Slice 74 of 155, Brain, Axial view
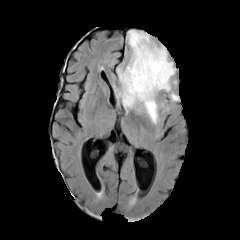
FLAIR MR image.
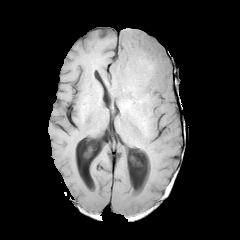
T1-weighted magnetic resonance of the same slice.
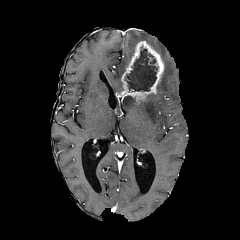
Post-contrast T1-weighted MR.
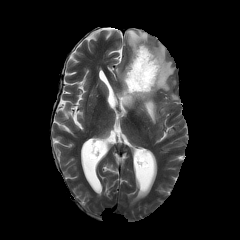
T2-weighted MRI of the same slice.
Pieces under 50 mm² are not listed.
- enhancing tumor: 116, 40, 164, 100
- necrotic tumor core: 125, 49, 157, 91
- peritumoral edema: 169, 92, 177, 100; 116, 67, 125, 92; 121, 94, 158, 123; 126, 30, 174, 92